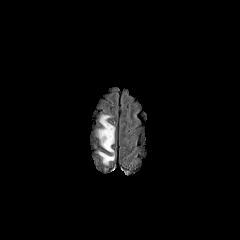
FLAIR MRI.
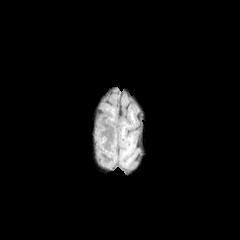
T1-weighted MR image of the same slice.
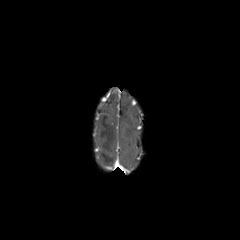
Same slice, post-contrast T1-weighted magnetic resonance.
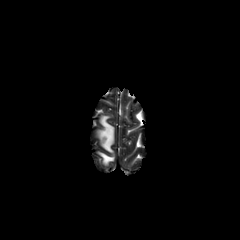
Same slice, T2-weighted MR image.
Head
peritumoral edema at x1=98, y1=115, x2=114, y2=152; x1=99, y1=152, x2=114, y2=164